FLAIR magnetic resonance.
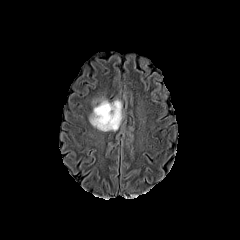
T1-weighted MR.
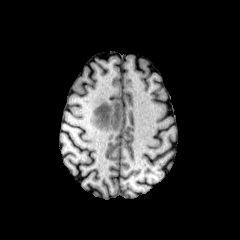
Post-contrast T1-weighted MR.
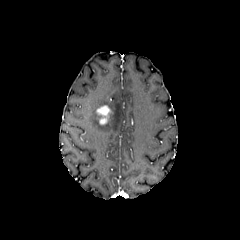
T2-weighted MRI.
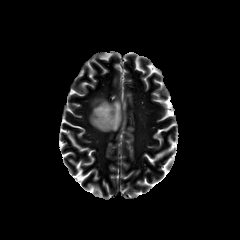
Head
The enhancing tumor appears at 96, 105, 111, 124. The peritumoral edema is bounded by 89, 98, 123, 131.